FLAIR MR.
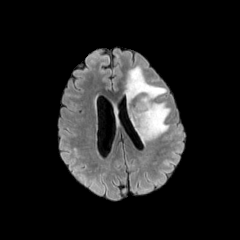
T1-weighted MR.
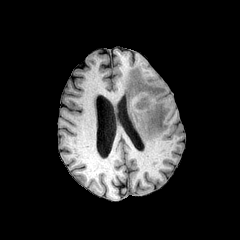
Post-contrast T1-weighted MR image.
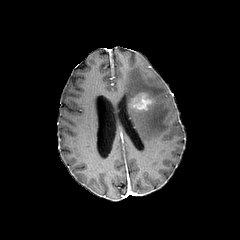
T2-weighted MRI.
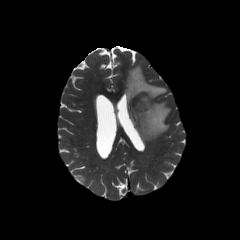
Head
Segmented structures:
• enhancing tumor: 134:94:152:110
• peritumoral edema: 131:102:170:143, 125:66:166:103